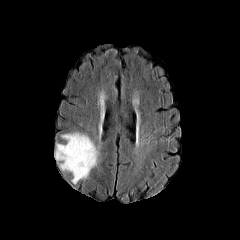
FLAIR MRI.
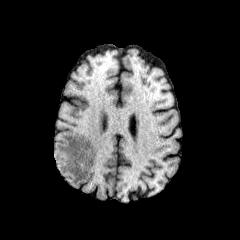
T1-weighted magnetic resonance of the same slice.
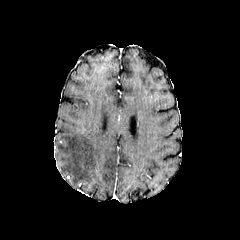
Post-contrast T1-weighted MR.
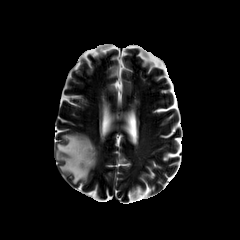
Same slice, T2-weighted MRI.
Brain
peritumoral edema: (x1=55, y1=132, x2=99, y2=183)